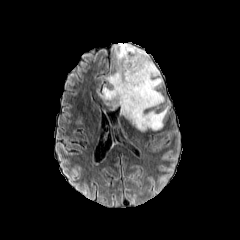
FLAIR magnetic resonance.
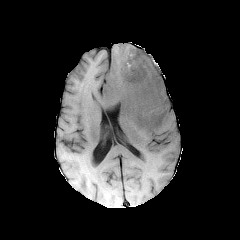
T1-weighted magnetic resonance.
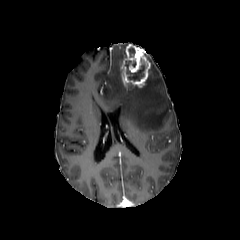
Post-contrast T1-weighted MR of the same slice.
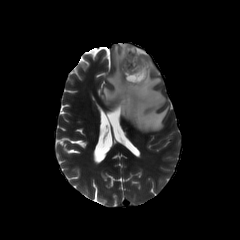
Same slice, T2-weighted MRI.
Axial view
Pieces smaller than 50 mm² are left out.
• enhancing tumor: bbox(120, 44, 151, 88)
• necrotic tumor core: bbox(128, 47, 135, 56); bbox(125, 60, 145, 80)
• peritumoral edema: bbox(100, 43, 168, 131)